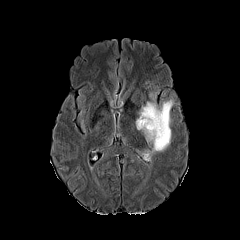
FLAIR MR image.
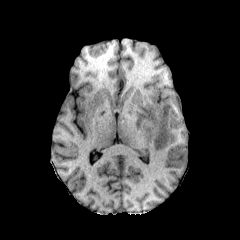
T1-weighted magnetic resonance.
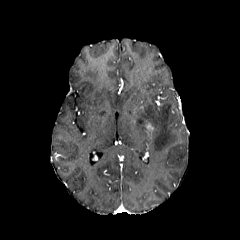
Same slice, post-contrast T1-weighted MR.
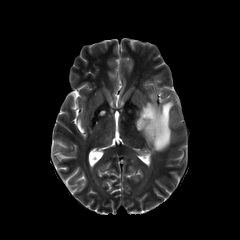
T2-weighted MRI of the same slice.
Axial slice
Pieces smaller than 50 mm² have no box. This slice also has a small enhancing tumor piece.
peritumoral edema: [136,90,183,154]